FLAIR MR image.
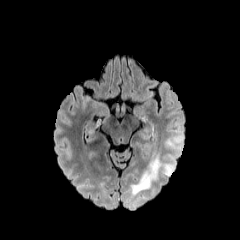
T1-weighted MRI.
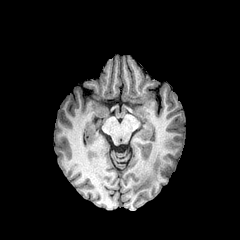
Post-contrast T1-weighted MR.
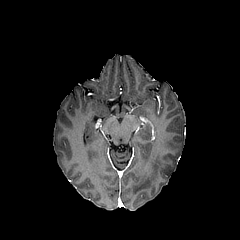
T2-weighted MRI.
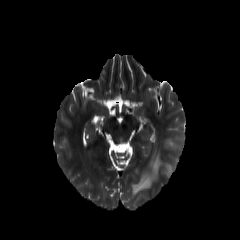
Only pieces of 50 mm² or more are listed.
* peritumoral edema: 130:133:183:196